FLAIR MR image.
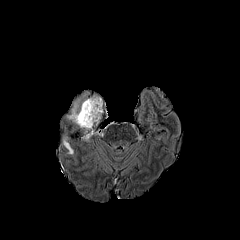
T1-weighted MR.
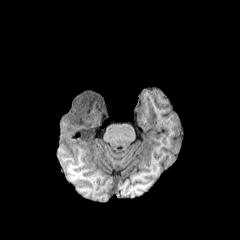
Post-contrast T1-weighted magnetic resonance.
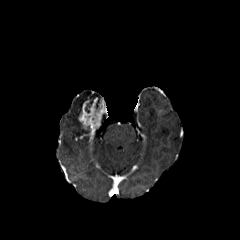
T2-weighted MR.
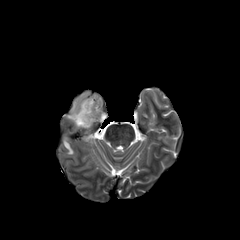
Head
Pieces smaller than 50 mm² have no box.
enhancing tumor: <bbox>78, 97, 104, 137</bbox> | necrotic tumor core: <bbox>85, 99, 93, 112</bbox> | peritumoral edema: <bbox>63, 136, 73, 154</bbox>, <bbox>66, 92, 100, 127</bbox>